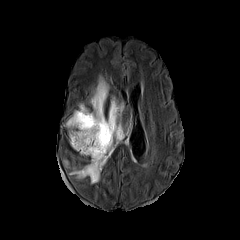
FLAIR MR image.
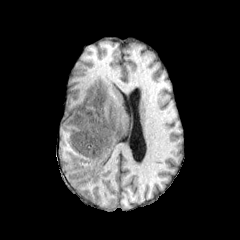
T1-weighted MR image.
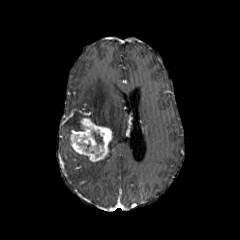
Same slice, post-contrast T1-weighted MR image.
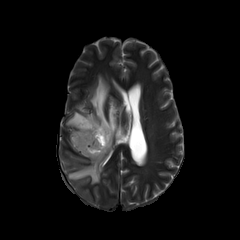
T2-weighted MR.
Axial view. Brain.
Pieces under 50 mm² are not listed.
<segmentation>
  <enhancing_tumor>70, 117, 112, 161</enhancing_tumor>
  <peritumoral_edema>66, 76, 124, 183</peritumoral_edema>
  <necrotic_tumor_core>93, 132, 103, 144</necrotic_tumor_core>
</segmentation>